Slice 119 of 155, Axial slice
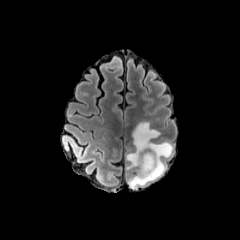
FLAIR MRI.
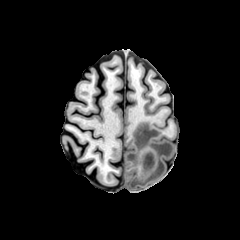
T1-weighted MR.
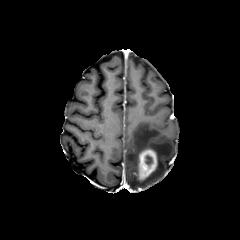
Post-contrast T1-weighted MR image.
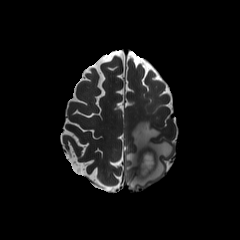
T2-weighted MR.
necrotic tumor core — 145, 156, 152, 164
enhancing tumor — 137, 148, 158, 181
peritumoral edema — 125, 122, 173, 189